Head; Axial slice; 240x240
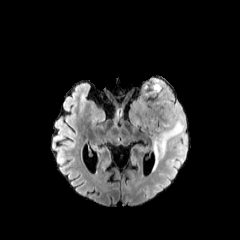
FLAIR MRI.
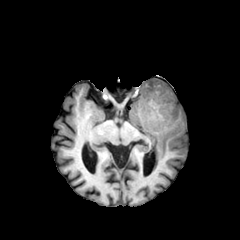
T1-weighted MR image.
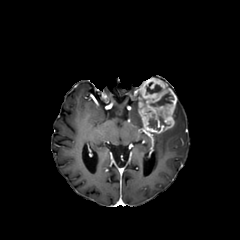
Post-contrast T1-weighted MR image of the same slice.
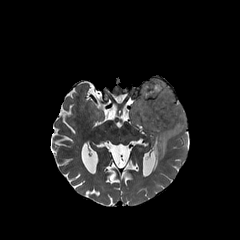
T2-weighted MR of the same slice.
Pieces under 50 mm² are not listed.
<segmentation>
  <enhancing_tumor>box(138, 77, 176, 134)</enhancing_tumor>
  <necrotic_tumor_core>box(149, 118, 160, 129); box(146, 82, 161, 93); box(150, 92, 173, 106)</necrotic_tumor_core>
  <peritumoral_edema>box(153, 101, 186, 169)</peritumoral_edema>
</segmentation>